Slice index 37; Axial view
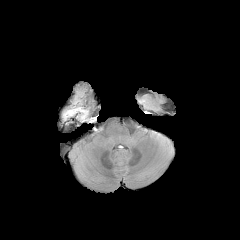
FLAIR MR image.
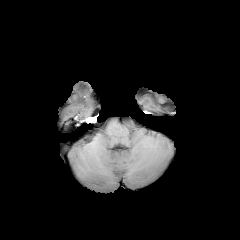
T1-weighted MR image.
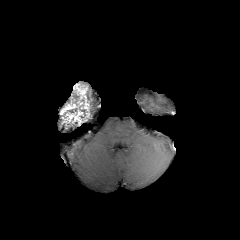
Post-contrast T1-weighted MR.
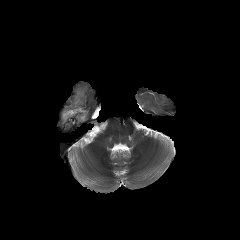
T2-weighted magnetic resonance of the same slice.
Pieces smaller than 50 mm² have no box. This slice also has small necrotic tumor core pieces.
Findings:
- enhancing tumor: {"x1": 60, "y1": 84, "x2": 89, "y2": 125}